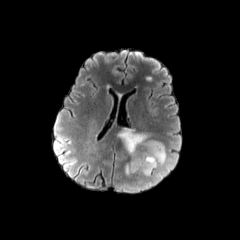
FLAIR MRI.
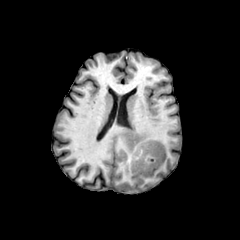
Same slice, T1-weighted MRI.
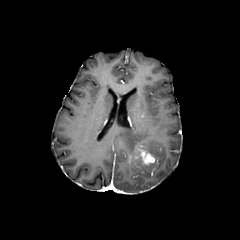
Same slice, post-contrast T1-weighted MRI.
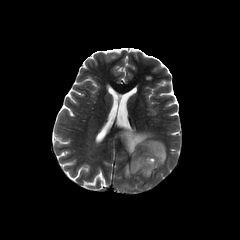
T2-weighted MRI.
240x240, Brain, Axial view
peritumoral edema — 118:128:166:176
enhancing tumor — 141:151:154:164